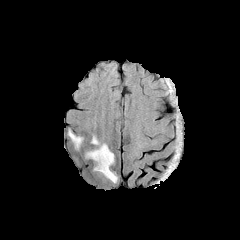
FLAIR MRI.
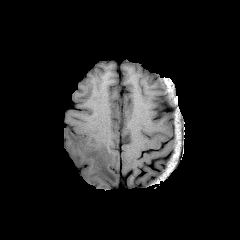
T1-weighted MR image.
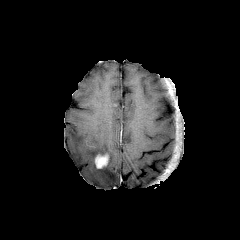
Same slice, post-contrast T1-weighted MR.
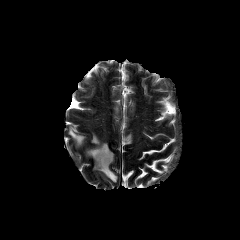
T2-weighted MR.
Brain
peritumoral edema: [86,135,117,182], [68,129,84,148] | enhancing tumor: [95,153,108,168]